240x240 px. Brain.
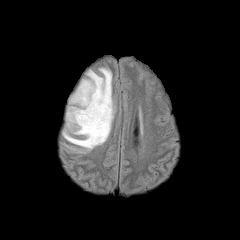
FLAIR MR image.
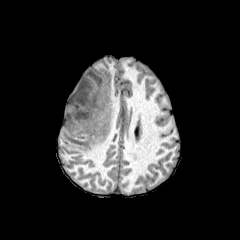
Same slice, T1-weighted MR.
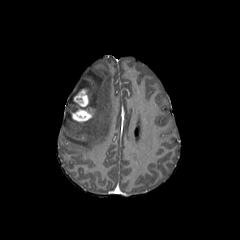
Post-contrast T1-weighted MR image.
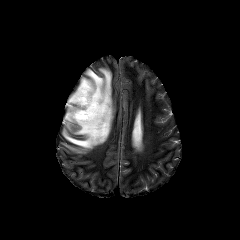
T2-weighted MR.
enhancing_tumor:
  - bbox(71, 89, 94, 122)
peritumoral_edema:
  - bbox(62, 68, 114, 152)